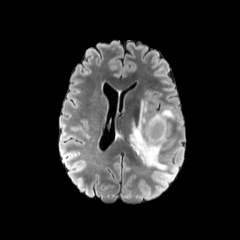
FLAIR MRI.
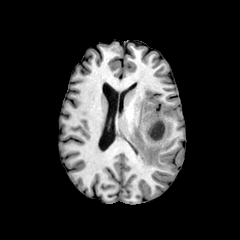
Same slice, T1-weighted MR image.
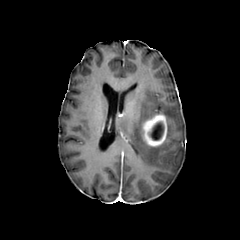
Post-contrast T1-weighted MRI of the same slice.
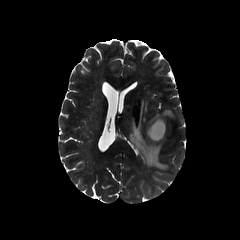
T2-weighted magnetic resonance.
Axial plane. Brain.
The necrotic tumor core lies within region(149, 122, 163, 140). The peritumoral edema is bounded by region(130, 100, 175, 169). The enhancing tumor lies within region(142, 113, 167, 146).